Slice index 40. Head. Axial slice.
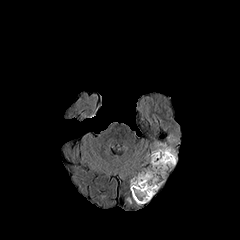
FLAIR MR.
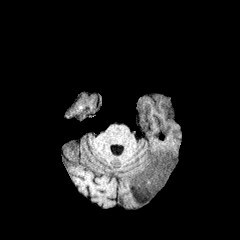
T1-weighted MRI.
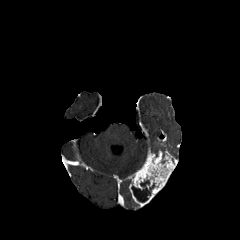
Same slice, post-contrast T1-weighted MRI.
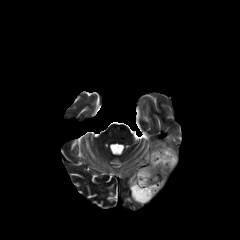
T2-weighted MR.
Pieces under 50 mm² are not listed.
peritumoral edema: 152:142:176:157 | necrotic tumor core: 131:180:154:202 | enhancing tumor: 129:149:177:206